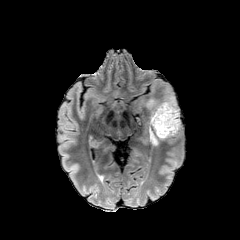
FLAIR MR image.
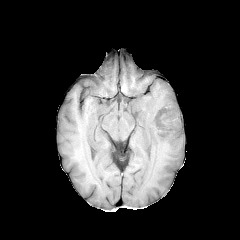
T1-weighted MRI of the same slice.
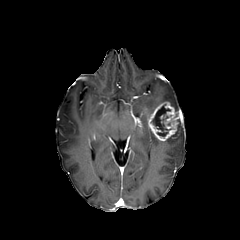
Post-contrast T1-weighted MRI.
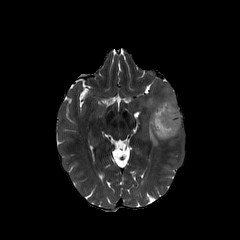
T2-weighted MRI.
Brain. Axial slice.
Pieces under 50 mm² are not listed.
necrotic tumor core: <bbox>151, 105, 170, 136</bbox>
peritumoral edema: <bbox>145, 88, 179, 116</bbox>, <bbox>147, 121, 161, 145</bbox>, <bbox>166, 119, 181, 142</bbox>
enhancing tumor: <bbox>148, 101, 180, 141</bbox>